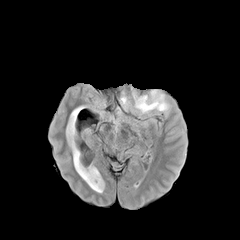
FLAIR magnetic resonance.
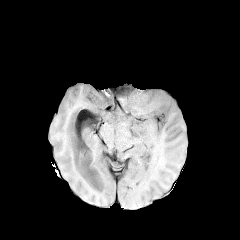
Same slice, T1-weighted magnetic resonance.
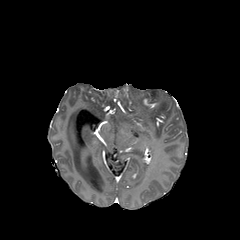
Post-contrast T1-weighted MR image.
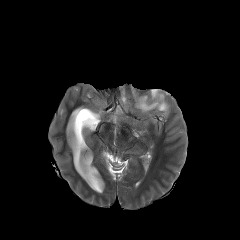
T2-weighted MRI.
Image size 240x240, Axial plane, Head
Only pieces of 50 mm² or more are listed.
enhancing tumor: left=144, top=99, right=156, bottom=107
peritumoral edema: left=135, top=90, right=168, bottom=113